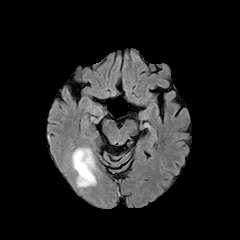
FLAIR MRI.
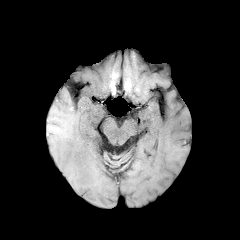
Same slice, T1-weighted MR.
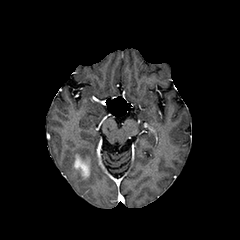
Same slice, post-contrast T1-weighted MR.
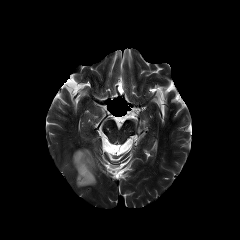
T2-weighted MR image of the same slice.
Axial view; Brain
{"enhancing_tumor": ["(left=74, top=154, right=89, bottom=178)"], "peritumoral_edema": ["(left=72, top=148, right=96, bottom=187)"]}